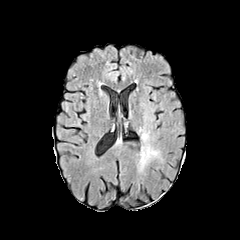
FLAIR magnetic resonance.
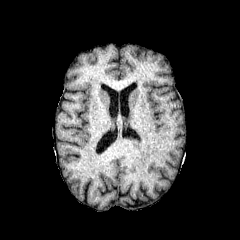
T1-weighted MRI of the same slice.
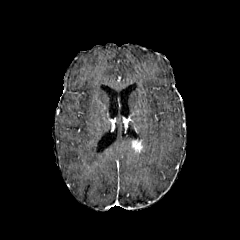
Post-contrast T1-weighted MR image.
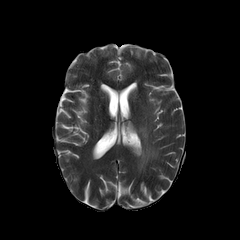
T2-weighted MR of the same slice.
Image size 240x240
The peritumoral edema is at {"x1": 137, "y1": 129, "x2": 158, "y2": 170}. The enhancing tumor is bounded by {"x1": 131, "y1": 140, "x2": 142, "y2": 152}.